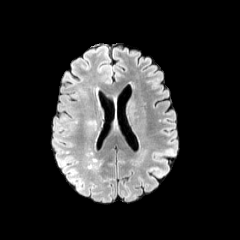
FLAIR MRI.
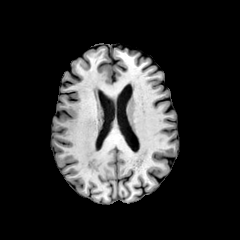
T1-weighted MRI.
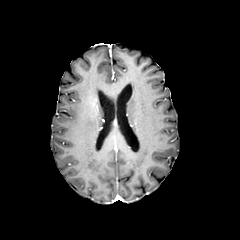
Post-contrast T1-weighted magnetic resonance.
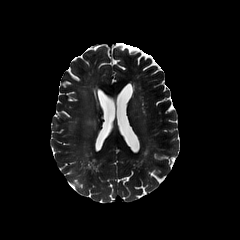
T2-weighted MRI.
Head, Image size 240x240
peritumoral edema at (left=79, top=89, right=89, bottom=98), (left=85, top=117, right=98, bottom=126)